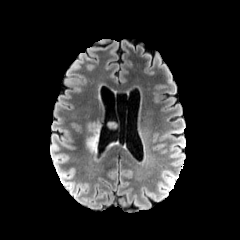
FLAIR MR.
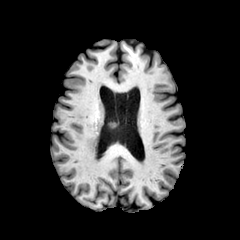
T1-weighted MRI of the same slice.
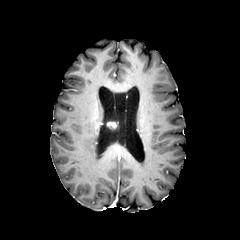
Post-contrast T1-weighted MRI.
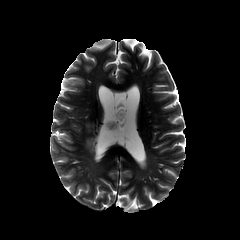
Same slice, T2-weighted magnetic resonance.
Head | 240x240 | Axial slice
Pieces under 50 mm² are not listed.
The largest enhancing tumor region is located at (x1=107, y1=122, x2=116, y2=128). The peritumoral edema is located at (x1=86, y1=124, x2=99, y2=152).